Slice 84 of 155; Image size 240x240; Image covers 240 mm x 240 mm; Axial view
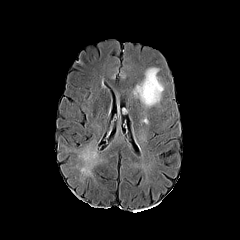
FLAIR MR.
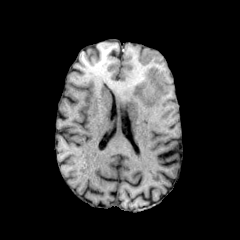
T1-weighted MR.
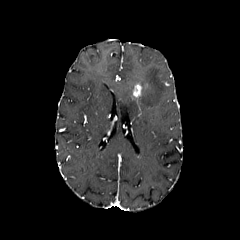
Post-contrast T1-weighted magnetic resonance of the same slice.
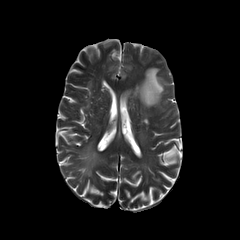
Same slice, T2-weighted MR image.
enhancing tumor: bounding box bbox=[133, 84, 142, 97]
peritumoral edema: bounding box bbox=[139, 68, 163, 107]